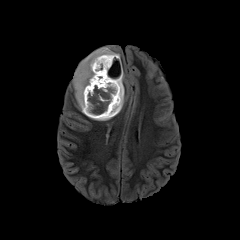
FLAIR MRI.
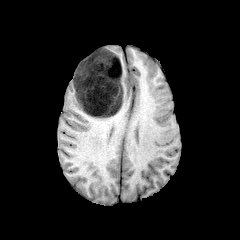
T1-weighted MR image.
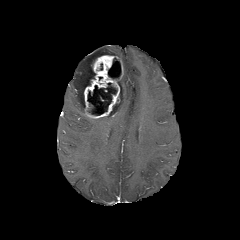
Same slice, post-contrast T1-weighted MR.
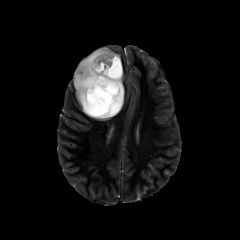
T2-weighted MR image.
Axial view; Brain
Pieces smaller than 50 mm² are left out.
Annotated regions:
• peritumoral edema: (left=115, top=74, right=125, bottom=115), (left=72, top=47, right=120, bottom=114), (left=92, top=116, right=113, bottom=120)
• enhancing tumor: (left=84, top=55, right=123, bottom=118)
• necrotic tumor core: (left=108, top=57, right=121, bottom=78), (left=87, top=83, right=117, bottom=115), (left=109, top=101, right=120, bottom=115)